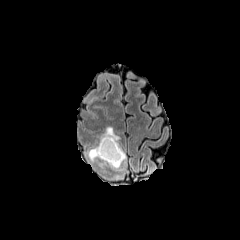
FLAIR magnetic resonance.
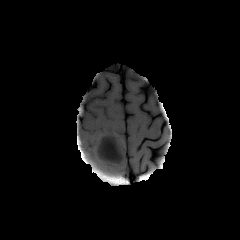
T1-weighted MR image.
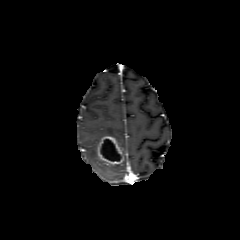
Post-contrast T1-weighted MR image.
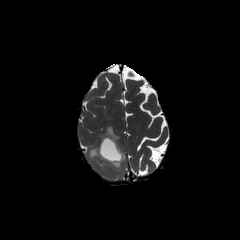
T2-weighted MR image of the same slice.
Head; Axial plane; Image size 240x240
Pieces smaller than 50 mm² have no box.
The 3 largest peritumoral edema regions are bounded by <bbox>88, 146, 98, 163</bbox>, <bbox>99, 126, 119, 142</bbox>, <bbox>100, 154, 126, 168</bbox>. The necrotic tumor core lies within <bbox>100, 139, 121, 161</bbox>. The enhancing tumor lies within <bbox>96, 135, 124, 165</bbox>.